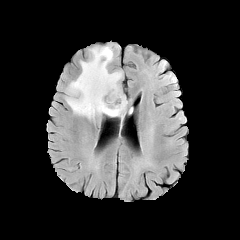
FLAIR MR image.
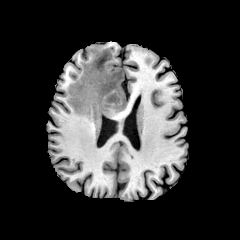
T1-weighted magnetic resonance.
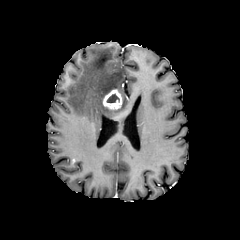
Same slice, post-contrast T1-weighted MRI.
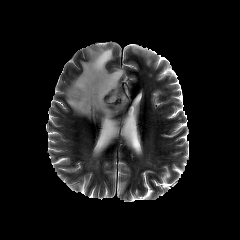
T2-weighted magnetic resonance.
240x240 px.
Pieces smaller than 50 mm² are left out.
Findings:
* necrotic tumor core: box(107, 94, 119, 102)
* peritumoral edema: box(66, 46, 127, 120)
* enhancing tumor: box(103, 89, 122, 109)